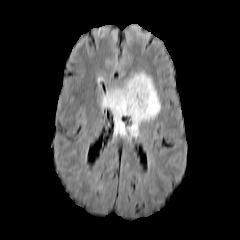
FLAIR MRI.
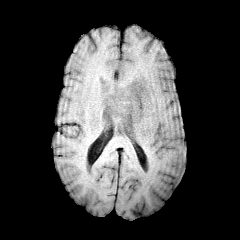
Same slice, T1-weighted MR.
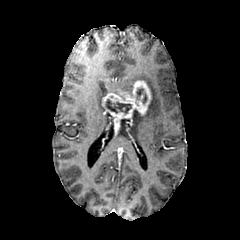
Same slice, post-contrast T1-weighted MRI.
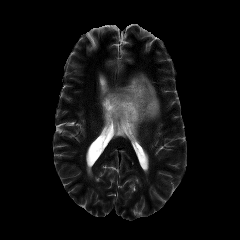
Same slice, T2-weighted MR image.
Head. Image size 240x240.
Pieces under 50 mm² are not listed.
{
  "enhancing_tumor": [
    "102, 80, 151, 129"
  ],
  "peritumoral_edema": [
    "106, 72, 160, 137",
    "120, 119, 125, 135"
  ],
  "necrotic_tumor_core": [
    "136, 88, 146, 103",
    "105, 99, 131, 113"
  ]
}